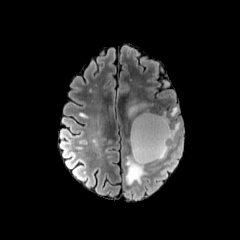
FLAIR MRI.
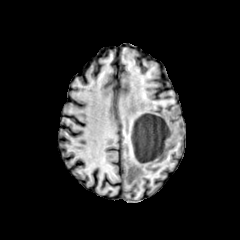
T1-weighted MR image.
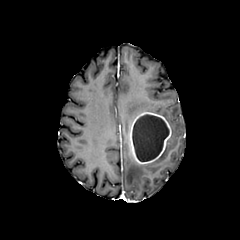
Same slice, post-contrast T1-weighted MRI.
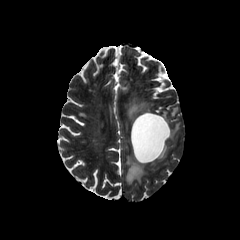
T2-weighted MRI of the same slice.
Head
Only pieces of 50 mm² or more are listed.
enhancing tumor: bounding box 130,112,171,164
necrotic tumor core: bounding box 132,114,169,161
peritumoral edema: bounding box 125,99,152,118; 158,145,167,159; 126,155,145,184; 170,123,179,138